Brain
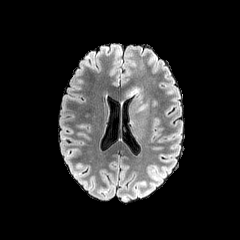
FLAIR MRI.
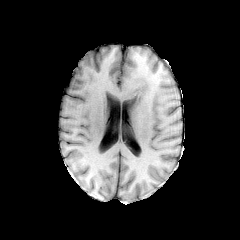
Same slice, T1-weighted MRI.
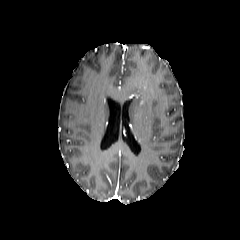
Post-contrast T1-weighted magnetic resonance of the same slice.
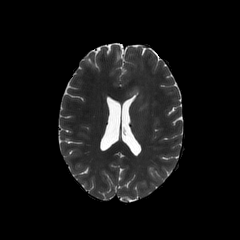
T2-weighted MR image of the same slice.
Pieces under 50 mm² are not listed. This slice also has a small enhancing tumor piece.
peritumoral edema: (left=126, top=87, right=141, bottom=99)